Image width 240 mm
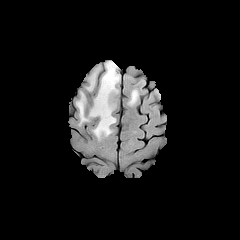
FLAIR MR.
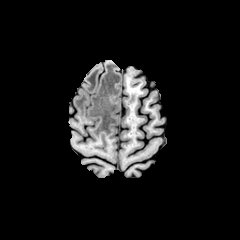
T1-weighted MRI of the same slice.
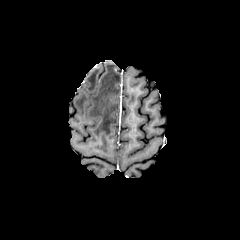
Post-contrast T1-weighted MR.
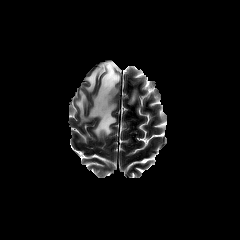
Same slice, T2-weighted MRI.
3 peritumoral edema regions appear at x1=86, y1=67, x2=100, y2=91; x1=76, y1=61, x2=120, y2=138; x1=128, y1=90, x2=137, y2=104.